FLAIR MR image.
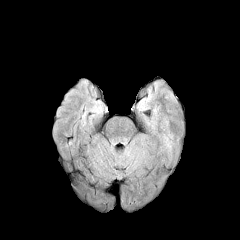
T1-weighted MR image.
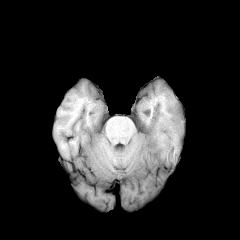
Post-contrast T1-weighted MR.
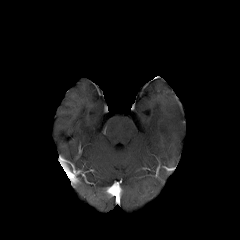
T2-weighted MRI.
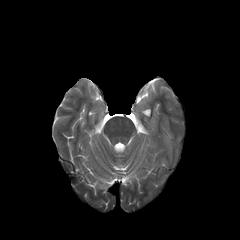
Axial slice; Brain
The peritumoral edema lies within box(136, 95, 151, 110).